Slice index 126 | 240x240 px | Axial slice
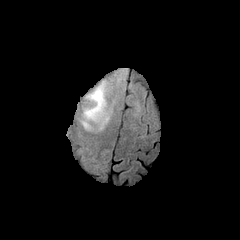
FLAIR MRI.
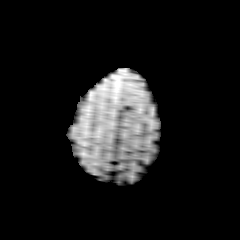
T1-weighted MR image.
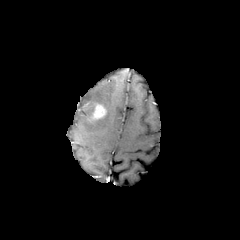
Post-contrast T1-weighted MRI of the same slice.
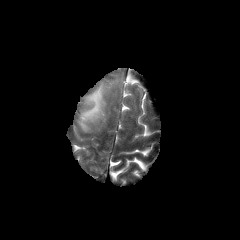
T2-weighted MR of the same slice.
The enhancing tumor is bounded by (93,105,104,118). The peritumoral edema appears at (81,83,111,129).